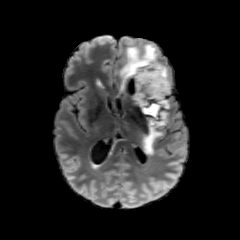
FLAIR MR image.
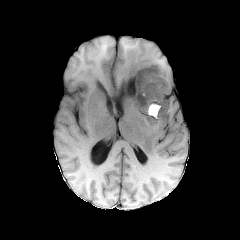
Same slice, T1-weighted MR image.
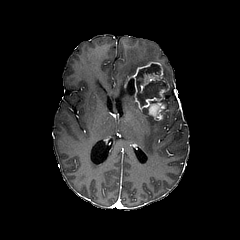
Post-contrast T1-weighted MRI of the same slice.
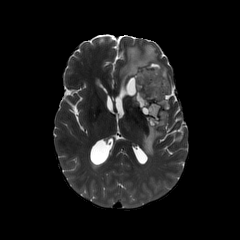
Same slice, T2-weighted magnetic resonance.
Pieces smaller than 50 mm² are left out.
peritumoral edema: rect(142, 111, 167, 154); rect(119, 42, 158, 92); rect(160, 63, 170, 92)
enhancing tumor: rect(128, 62, 169, 123)
necrotic tumor core: rect(136, 63, 167, 107); rect(149, 104, 159, 115)